FLAIR MR image.
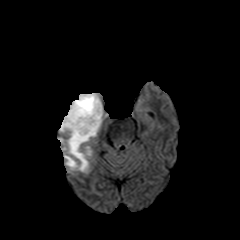
T1-weighted magnetic resonance.
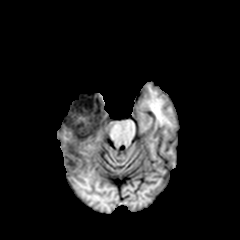
Post-contrast T1-weighted MR.
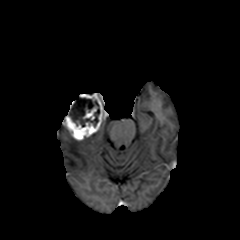
T2-weighted MR image.
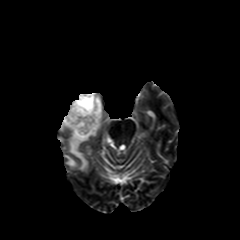
Head, Axial slice
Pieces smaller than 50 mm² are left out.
The necrotic tumor core appears at x1=69 y1=97 x2=99 y2=126. The largest peritumoral edema region appears at x1=62 y1=132 x2=96 y2=172. 2 enhancing tumor regions are bounded by x1=62 y1=93 x2=106 y2=140, x1=83 y1=106 x2=97 y2=120.